Axial plane, Image width 240 mm
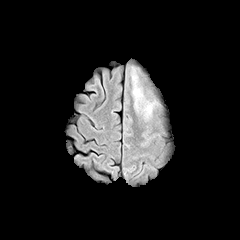
FLAIR MR image.
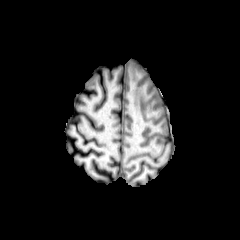
T1-weighted MRI.
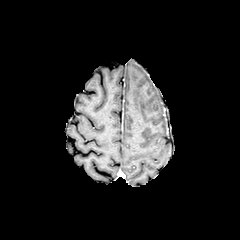
Post-contrast T1-weighted MRI of the same slice.
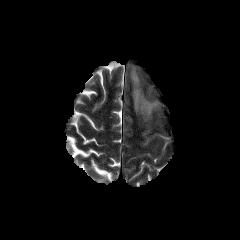
Same slice, T2-weighted MRI.
peritumoral edema: (131, 69, 158, 122)